Slice 117/155. Head. Image covers 240 mm x 240 mm.
FLAIR MR.
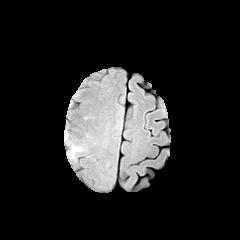
T1-weighted MR image.
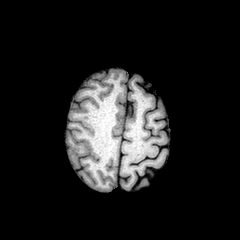
Post-contrast T1-weighted MRI.
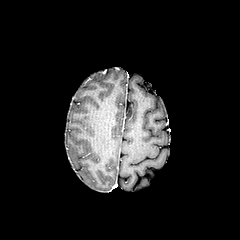
T2-weighted magnetic resonance.
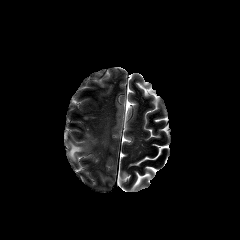
The peritumoral edema lies within (70,146,81,156).